Image covers 240 mm x 240 mm, Axial plane
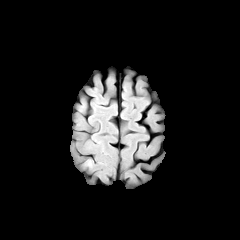
FLAIR MR image.
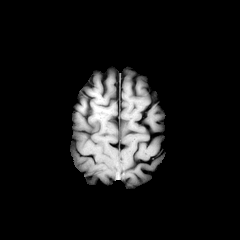
T1-weighted MRI of the same slice.
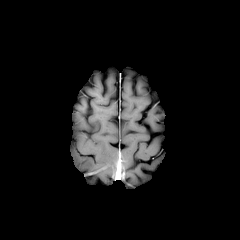
Same slice, post-contrast T1-weighted MR.
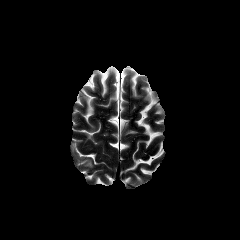
Same slice, T2-weighted magnetic resonance.
peritumoral edema — (71,144,79,160), (84,160,93,167)